Axial plane; Brain
FLAIR magnetic resonance.
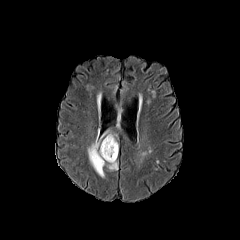
T1-weighted magnetic resonance.
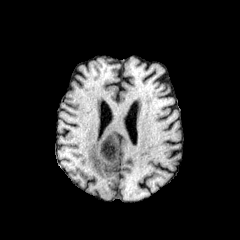
Post-contrast T1-weighted magnetic resonance.
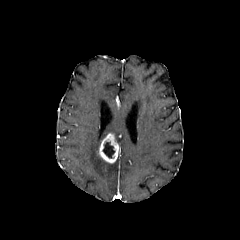
T2-weighted MRI.
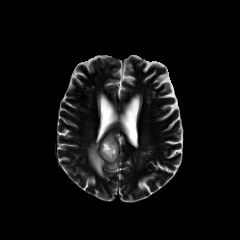
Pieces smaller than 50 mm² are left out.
The largest peritumoral edema region is at <box>87,130,118,178</box>. The enhancing tumor is at <box>98,133,118,163</box>. The necrotic tumor core appears at <box>103,142,114,158</box>.